240x240
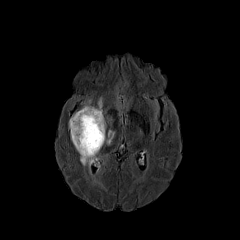
FLAIR MRI.
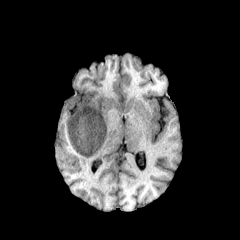
T1-weighted MRI.
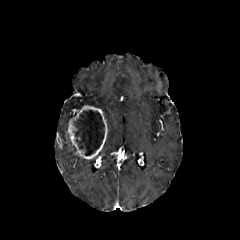
Post-contrast T1-weighted magnetic resonance.
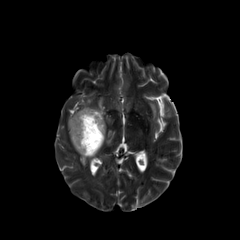
T2-weighted MR image.
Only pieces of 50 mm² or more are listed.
enhancing tumor — box=[68, 105, 107, 159]
peritumoral edema — box=[106, 130, 114, 144]; box=[80, 157, 97, 168]
necrotic tumor core — box=[74, 110, 104, 155]